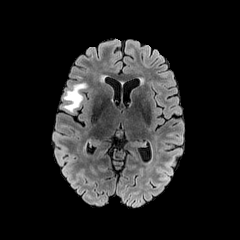
FLAIR magnetic resonance.
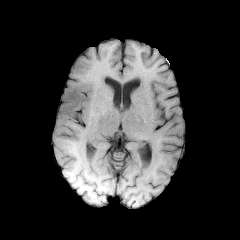
Same slice, T1-weighted MR image.
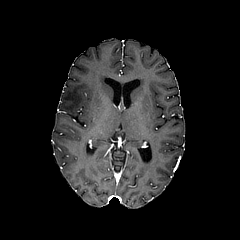
Same slice, post-contrast T1-weighted magnetic resonance.
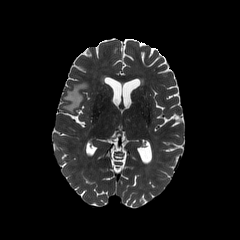
T2-weighted MR image of the same slice.
240x240
{"peritumoral_edema": ["region(62, 83, 88, 112)"]}